FLAIR MR.
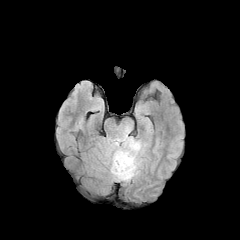
T1-weighted MR image.
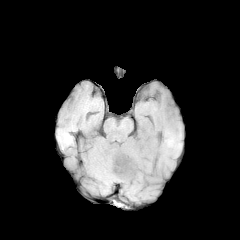
Post-contrast T1-weighted MR image.
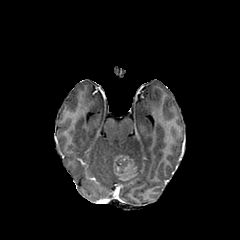
T2-weighted magnetic resonance.
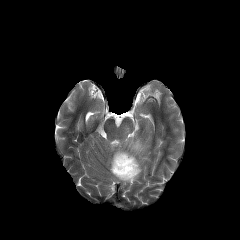
Axial slice.
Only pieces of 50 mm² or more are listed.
Findings:
* peritumoral edema: [103, 124, 143, 183]
* necrotic tumor core: [116, 160, 127, 166]
* enhancing tumor: [113, 154, 137, 180]